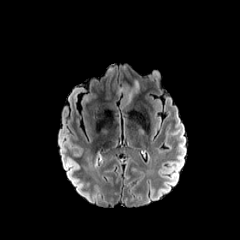
FLAIR MRI.
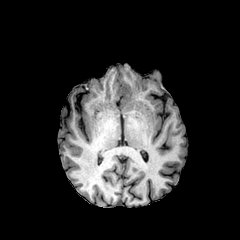
Same slice, T1-weighted MR.
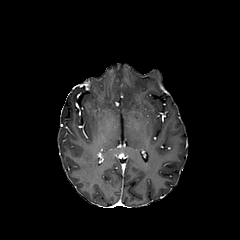
Same slice, post-contrast T1-weighted MRI.
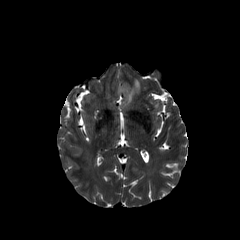
T2-weighted MR of the same slice.
Head; Axial view; 240x240
The peritumoral edema lies within (left=119, top=80, right=139, bottom=104).